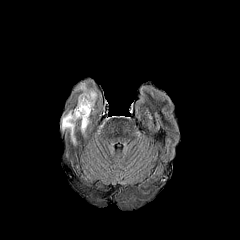
FLAIR magnetic resonance.
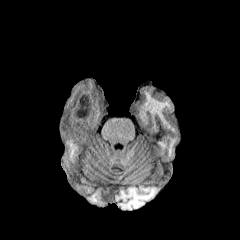
T1-weighted MR of the same slice.
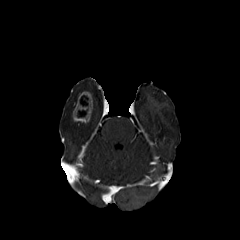
Post-contrast T1-weighted MR.
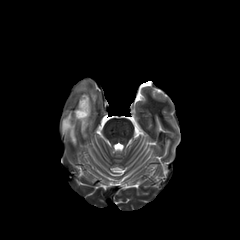
T2-weighted magnetic resonance.
Brain; 240x240
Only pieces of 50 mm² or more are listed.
<segmentation>
  <necrotic_tumor_core>box=[77, 109, 87, 117]; box=[79, 95, 88, 106]</necrotic_tumor_core>
  <peritumoral_edema>box=[74, 81, 97, 106]; box=[80, 120, 91, 134]; box=[62, 110, 75, 144]</peritumoral_edema>
  <enhancing_tumor>box=[72, 91, 93, 123]</enhancing_tumor>
</segmentation>